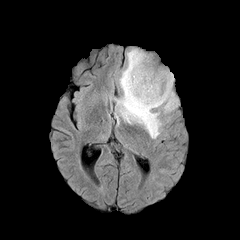
FLAIR MR image.
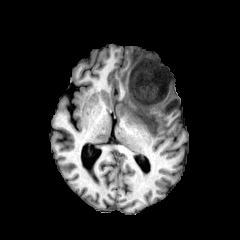
T1-weighted MR image.
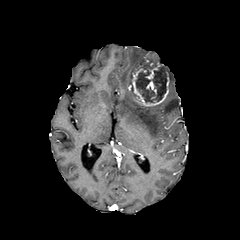
Same slice, post-contrast T1-weighted MR.
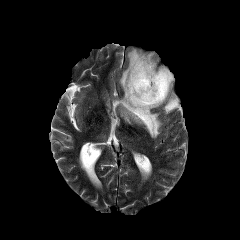
T2-weighted MR image.
Head | Axial plane
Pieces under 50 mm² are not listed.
The largest enhancing tumor region lies within x1=128 y1=56 x2=169 y2=106. The peritumoral edema is at x1=116 y1=48 x2=178 y2=138. The 2 largest necrotic tumor core regions appear at x1=152 y1=67 x2=167 y2=101, x1=136 y1=71 x2=155 y2=102.